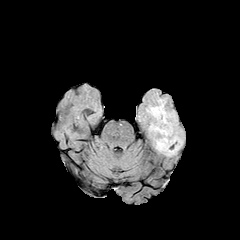
FLAIR MR.
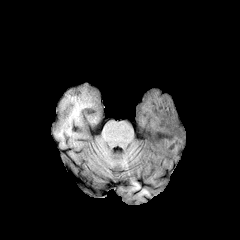
T1-weighted MR.
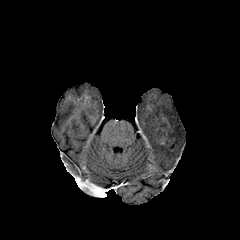
Same slice, post-contrast T1-weighted MR image.
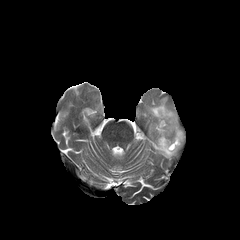
T2-weighted MR.
240x240 | Head
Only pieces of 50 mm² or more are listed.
necrotic tumor core: (158,122,167,137)
enhancing tumor: (161,116,171,135)
peritumoral edema: (146,97,183,156)